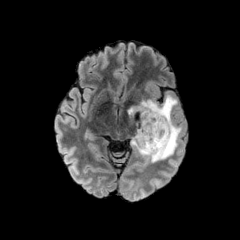
FLAIR magnetic resonance.
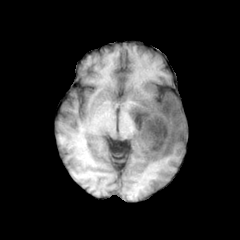
T1-weighted MR image.
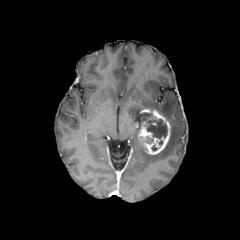
Post-contrast T1-weighted MR of the same slice.
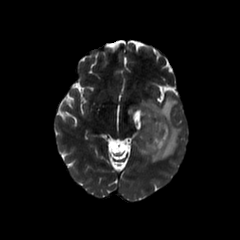
T2-weighted MR.
Brain. Axial view.
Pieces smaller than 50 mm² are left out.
{"necrotic_tumor_core": ["bbox(147, 119, 167, 138)"], "enhancing_tumor": ["bbox(137, 108, 170, 154)"], "peritumoral_edema": ["bbox(128, 95, 182, 162)"]}